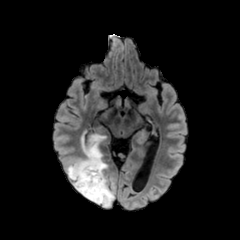
FLAIR MR image.
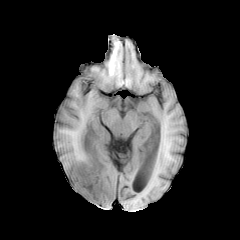
T1-weighted MR.
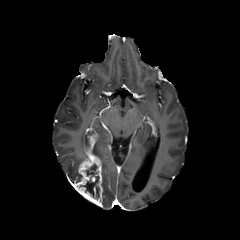
Post-contrast T1-weighted MR of the same slice.
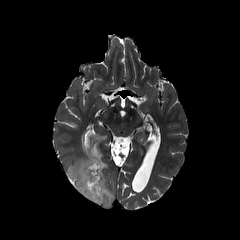
Same slice, T2-weighted MR image.
Image size 240x240, Axial plane
peritumoral edema: box(66, 129, 115, 207)
enhancing tumor: box(72, 151, 103, 205)
necrotic tumor core: box(80, 176, 99, 199); box(86, 164, 97, 175)